FLAIR MR image.
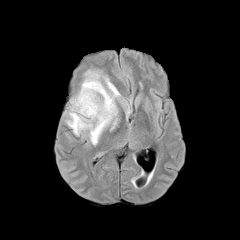
T1-weighted MR image.
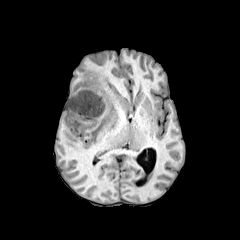
Post-contrast T1-weighted MRI.
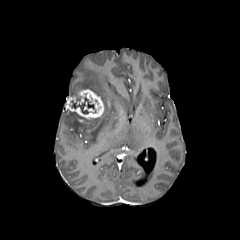
T2-weighted magnetic resonance.
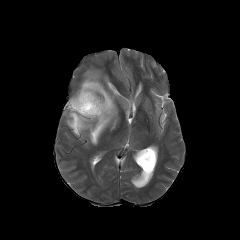
Axial view.
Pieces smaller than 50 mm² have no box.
peritumoral edema: (left=67, top=70, right=120, bottom=144)
necrotic tumor core: (left=84, top=97, right=94, bottom=109), (left=71, top=101, right=88, bottom=113)
enhancing tumor: (left=66, top=89, right=104, bottom=122)